FLAIR MR image.
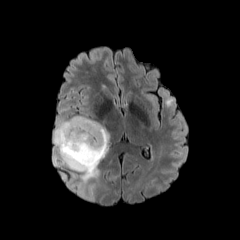
T1-weighted MRI.
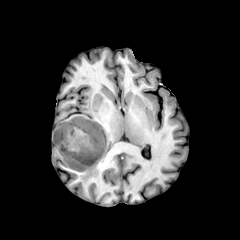
Post-contrast T1-weighted MR image.
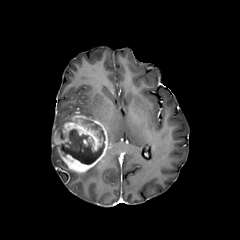
T2-weighted MR image.
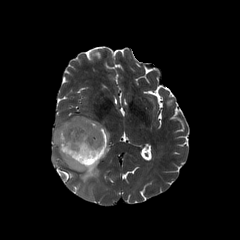
Head, Axial plane
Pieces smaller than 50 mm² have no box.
Annotated regions:
* enhancing tumor: bbox=[53, 115, 109, 172]
* peritumoral edema: bbox=[81, 163, 99, 182]; bbox=[54, 119, 70, 130]
* necrotic tumor core: bbox=[60, 129, 105, 164]